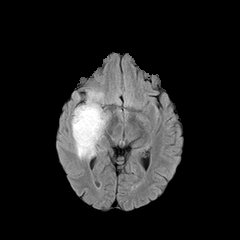
FLAIR MR.
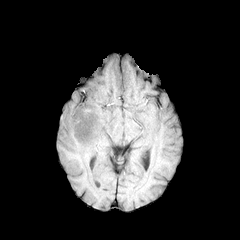
Same slice, T1-weighted magnetic resonance.
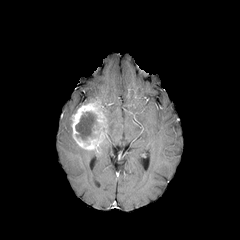
Post-contrast T1-weighted magnetic resonance.
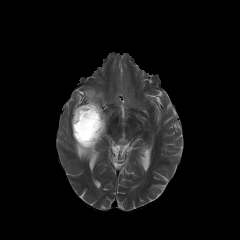
T2-weighted MR image of the same slice.
Axial slice, Brain
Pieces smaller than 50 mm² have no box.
peritumoral edema = [x1=74, y1=140, x2=98, y2=159], [x1=86, y1=89, x2=103, y2=103]
necrotic tumor core = [x1=75, y1=112, x2=97, y2=140]
enhancing tumor = [x1=72, y1=101, x2=106, y2=150]